240x240 px | Slice 79 of 155 | Brain
FLAIR magnetic resonance.
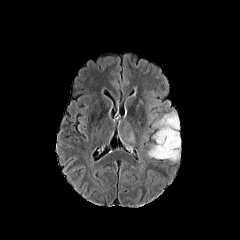
T1-weighted magnetic resonance.
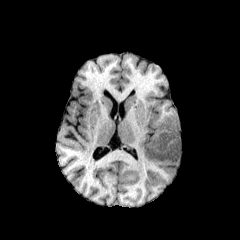
Post-contrast T1-weighted MR image.
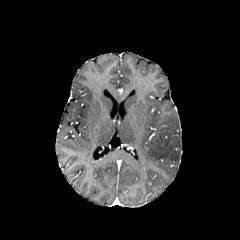
T2-weighted magnetic resonance.
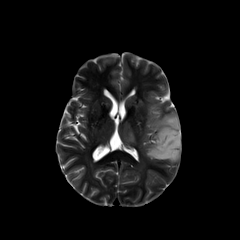
peritumoral edema: 123 131 134 142, 148 111 180 161